Brain; Slice 101 of 155
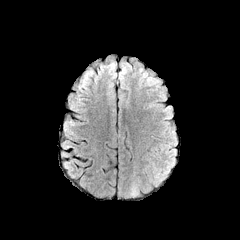
FLAIR MRI.
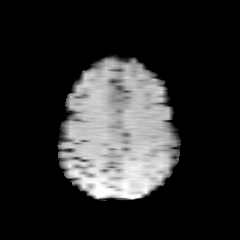
T1-weighted MR.
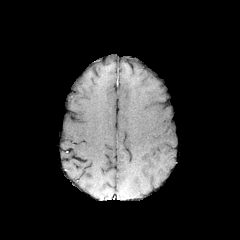
Post-contrast T1-weighted MRI.
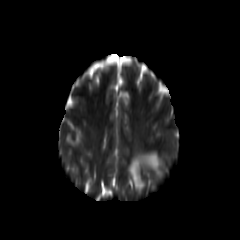
T2-weighted MR image.
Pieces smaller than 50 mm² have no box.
peritumoral edema: (left=149, top=153, right=161, bottom=177)